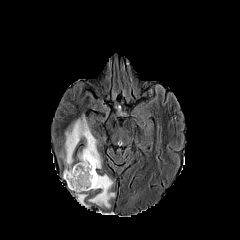
FLAIR magnetic resonance.
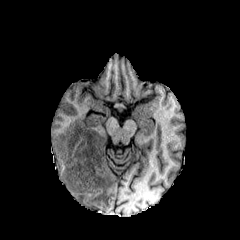
T1-weighted MR of the same slice.
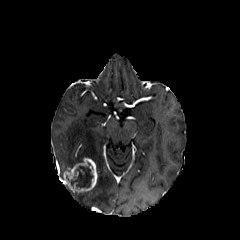
Post-contrast T1-weighted magnetic resonance.
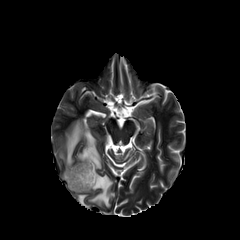
T2-weighted MRI of the same slice.
Image size 240x240, Head
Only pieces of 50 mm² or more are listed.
enhancing tumor: bounding box region(63, 158, 97, 192)
peritumoral edema: bounding box region(75, 192, 88, 207); region(89, 174, 114, 207); region(60, 117, 101, 169)
necrotic tumor core: bounding box region(70, 166, 93, 187)